FLAIR magnetic resonance.
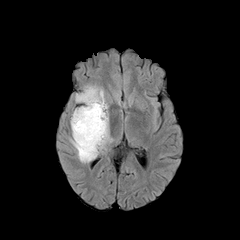
T1-weighted magnetic resonance.
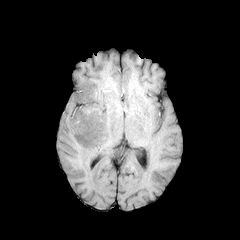
Post-contrast T1-weighted magnetic resonance.
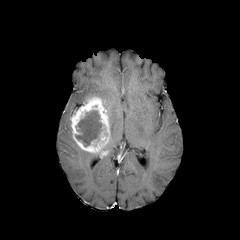
T2-weighted MR.
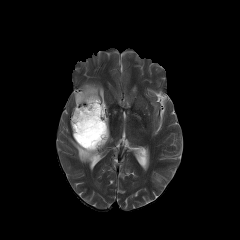
240x240. Axial plane.
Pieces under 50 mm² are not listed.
The necrotic tumor core is at l=75, t=111, r=102, b=146. The enhancing tumor is located at l=70, t=96, r=109, b=153. The 2 largest peritumoral edema regions are bounded by l=69, t=136, r=93, b=163; l=75, t=84, r=108, b=116.